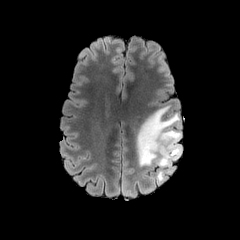
FLAIR MR.
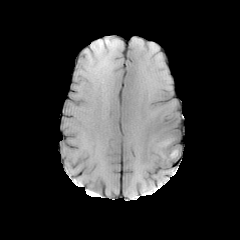
Same slice, T1-weighted MR.
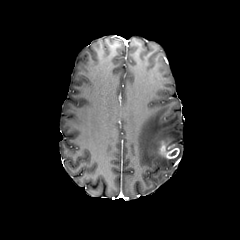
Same slice, post-contrast T1-weighted MR.
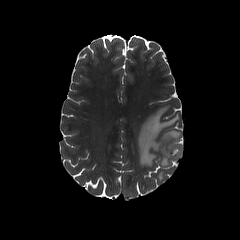
T2-weighted magnetic resonance.
Brain
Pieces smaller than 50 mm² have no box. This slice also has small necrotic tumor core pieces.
The enhancing tumor appears at region(159, 140, 179, 159). The peritumoral edema appears at region(136, 105, 181, 183).